Axial slice. Head.
FLAIR magnetic resonance.
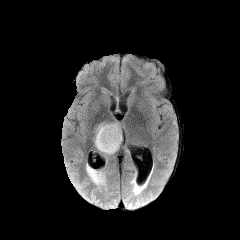
T1-weighted MR image.
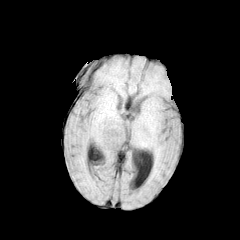
Post-contrast T1-weighted MR image.
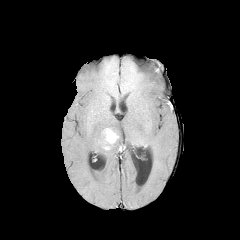
T2-weighted MR.
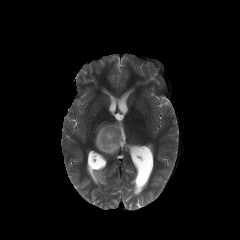
enhancing tumor: 102:128:118:150 | peritumoral edema: 94:122:122:155